Image width 240 mm; Head; Image size 240x240
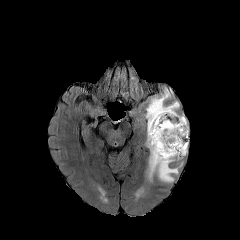
FLAIR MRI.
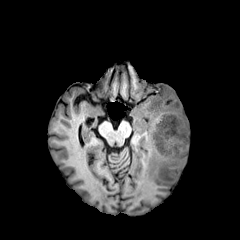
T1-weighted magnetic resonance of the same slice.
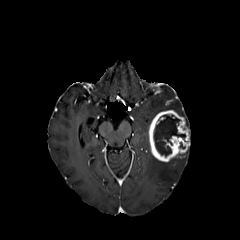
Same slice, post-contrast T1-weighted MR image.
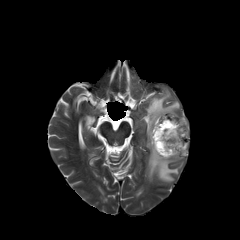
T2-weighted MR of the same slice.
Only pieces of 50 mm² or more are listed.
The 2 largest peritumoral edema regions appear at (145,89,179,135), (148,154,178,182). The largest necrotic tumor core region is located at (154,115,185,156). The enhancing tumor is bounded by (148,110,189,162).